Slice 76 of 155; Axial view; Head
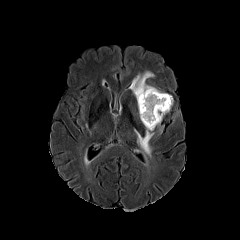
FLAIR magnetic resonance.
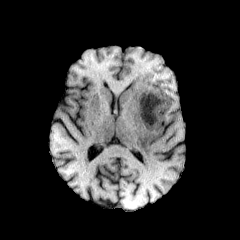
T1-weighted MR image.
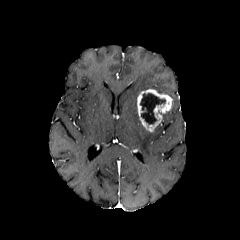
Same slice, post-contrast T1-weighted MRI.
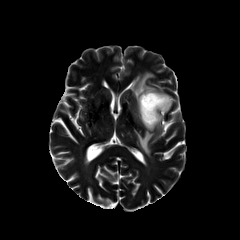
T2-weighted magnetic resonance.
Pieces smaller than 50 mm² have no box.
<segmentation>
  <necrotic_tumor_core>140:93:165:124</necrotic_tumor_core>
  <enhancing_tumor>137:89:172:132</enhancing_tumor>
  <peritumoral_edema>129:71:164:98, 134:130:154:157</peritumoral_edema>
</segmentation>